FLAIR MR image.
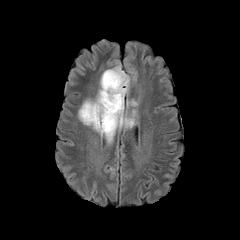
T1-weighted MR.
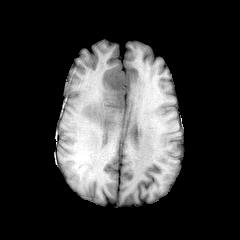
Post-contrast T1-weighted magnetic resonance.
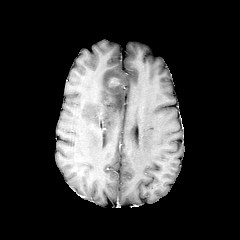
T2-weighted MRI.
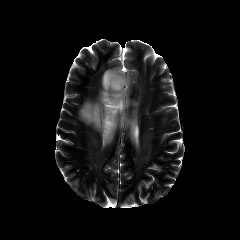
Image size 240x240; Brain
peritumoral edema — bbox(126, 99, 137, 108); bbox(78, 63, 136, 143)
enhancing tumor — bbox(108, 77, 121, 88)